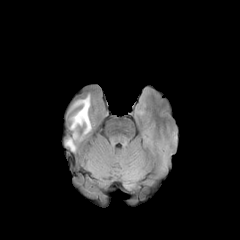
FLAIR MRI.
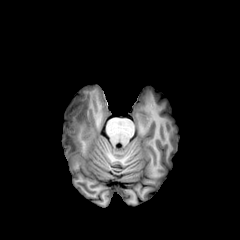
T1-weighted MR image of the same slice.
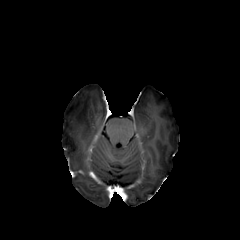
Post-contrast T1-weighted MR of the same slice.
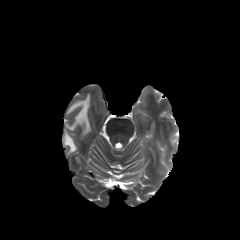
T2-weighted MR.
Image size 240x240, Head
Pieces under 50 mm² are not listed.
{"peritumoral_edema": ["left=70, top=95, right=90, bottom=134", "left=65, top=137, right=75, bottom=151"]}